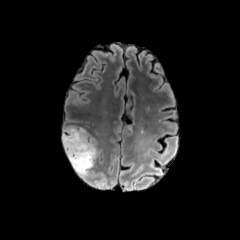
FLAIR MR.
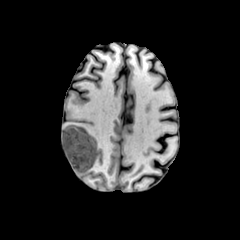
T1-weighted magnetic resonance of the same slice.
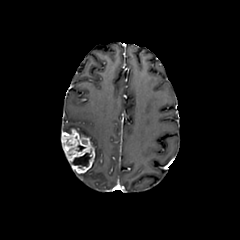
Post-contrast T1-weighted magnetic resonance.
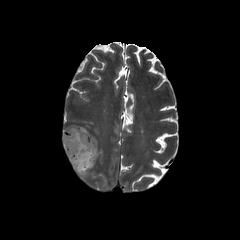
Same slice, T2-weighted MR image.
Axial slice. Image size 240x240.
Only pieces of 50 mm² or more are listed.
The largest peritumoral edema region is bounded by x1=63, y1=126, x2=99, y2=159. The enhancing tumor lies within x1=61, y1=128, x2=95, y2=173. The largest necrotic tumor core region is located at x1=72, y1=152, x2=91, y2=166.